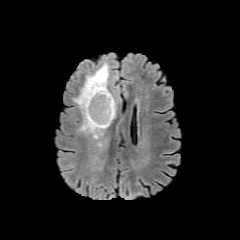
FLAIR MR image.
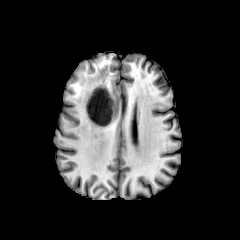
T1-weighted MR.
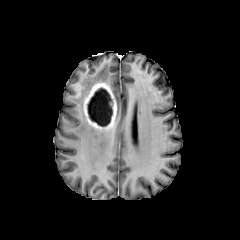
Post-contrast T1-weighted MR of the same slice.
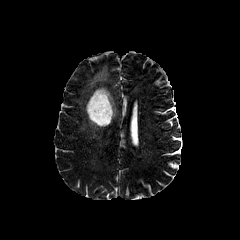
T2-weighted MRI.
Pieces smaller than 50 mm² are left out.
The necrotic tumor core is located at left=87, top=88, right=112, bottom=126. The largest peritumoral edema region is bounded by left=73, top=63, right=109, bottom=139. The enhancing tumor appears at left=83, top=82, right=116, bottom=130.